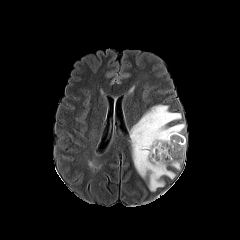
FLAIR MR image.
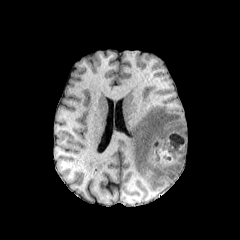
T1-weighted MR image of the same slice.
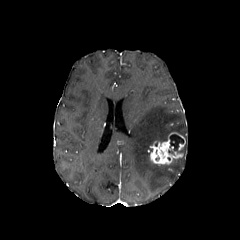
Post-contrast T1-weighted MRI.
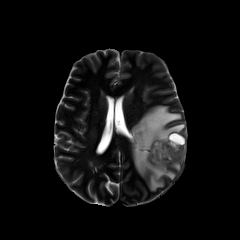
Same slice, T2-weighted MR.
Brain
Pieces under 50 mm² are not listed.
The enhancing tumor is at rect(149, 132, 185, 165). The largest necrotic tumor core region lies within rect(170, 134, 180, 150). The 2 largest peritumoral edema regions are located at rect(130, 105, 185, 191); rect(170, 156, 183, 170).